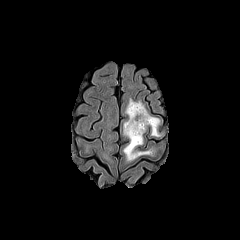
FLAIR magnetic resonance.
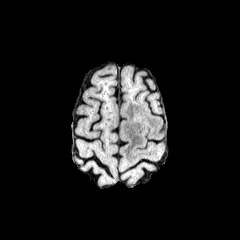
Same slice, T1-weighted magnetic resonance.
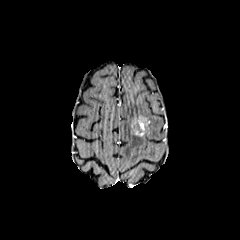
Post-contrast T1-weighted MR image.
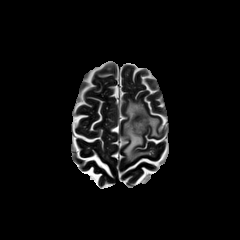
Same slice, T2-weighted MR image.
Axial plane, 240x240
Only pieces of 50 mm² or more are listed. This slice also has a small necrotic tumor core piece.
enhancing tumor: bbox=[131, 117, 149, 136] | peritumoral edema: bbox=[123, 99, 160, 161]